Axial slice, Slice 135 of 155
FLAIR magnetic resonance.
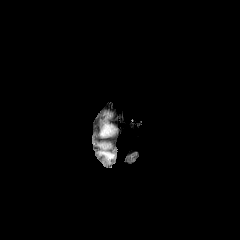
T1-weighted MR.
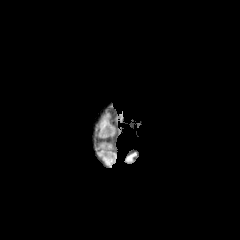
Post-contrast T1-weighted magnetic resonance.
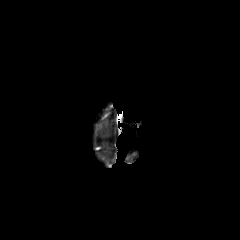
T2-weighted MR.
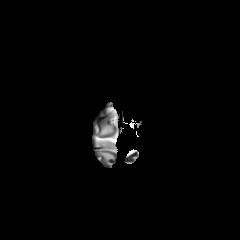
{
  "peritumoral_edema": [
    "rect(97, 144, 111, 148)",
    "rect(99, 152, 114, 162)",
    "rect(100, 124, 114, 135)"
  ]
}